FLAIR MRI.
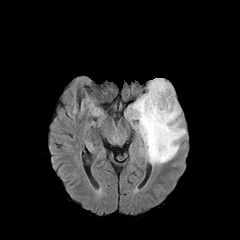
T1-weighted MRI.
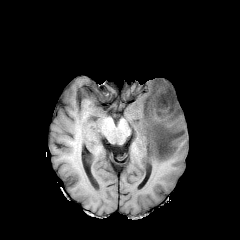
Post-contrast T1-weighted MR image.
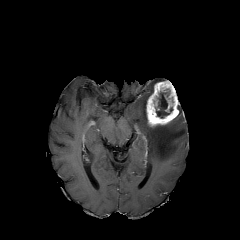
T2-weighted MRI.
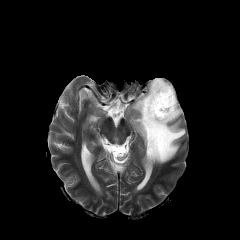
Axial slice | Image size 240x240 | Head
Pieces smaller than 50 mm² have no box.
peritumoral_edema:
  - bbox(127, 78, 186, 164)
enhancing_tumor:
  - bbox(146, 80, 179, 127)
necrotic_tumor_core:
  - bbox(156, 92, 169, 117)